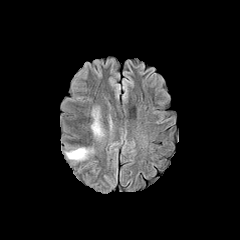
FLAIR MR.
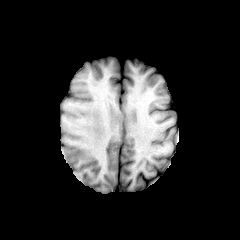
T1-weighted MR image of the same slice.
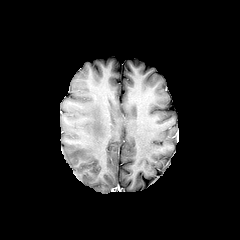
Post-contrast T1-weighted magnetic resonance of the same slice.
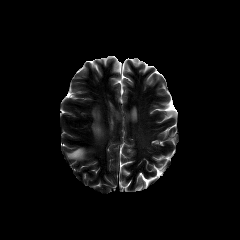
T2-weighted MR.
Axial view
peritumoral edema — x1=66, y1=148, x2=87, y2=159; x1=92, y1=113, x2=101, y2=135